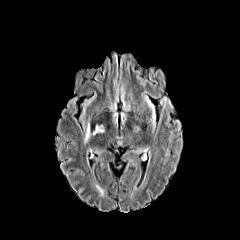
FLAIR MRI.
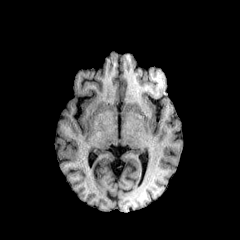
Same slice, T1-weighted MRI.
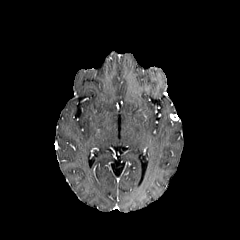
Post-contrast T1-weighted magnetic resonance of the same slice.
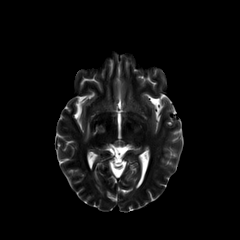
T2-weighted MR image of the same slice.
Brain, Axial slice
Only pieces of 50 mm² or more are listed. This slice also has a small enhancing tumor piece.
peritumoral edema at bbox(84, 122, 90, 142); bbox(93, 125, 104, 134)